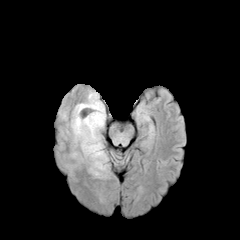
FLAIR MRI.
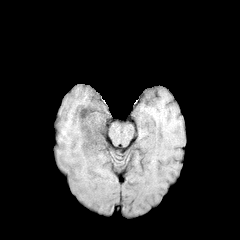
T1-weighted MR image.
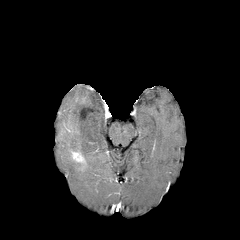
Post-contrast T1-weighted MR image of the same slice.
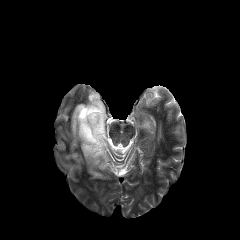
T2-weighted MRI of the same slice.
240x240 px; Head; Axial plane
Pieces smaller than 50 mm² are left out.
peritumoral edema = x1=71 y1=91 x2=109 y2=176
enhancing tumor = x1=72 y1=152 x2=84 y2=162